FLAIR MR image.
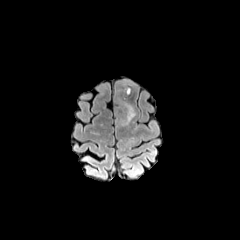
T1-weighted MRI.
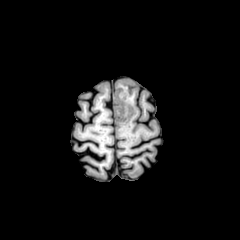
Post-contrast T1-weighted MRI.
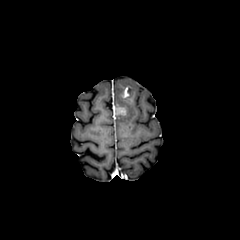
T2-weighted MR image.
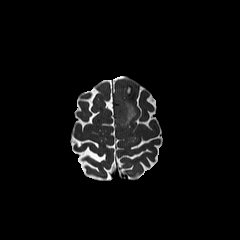
Head
2 peritumoral edema regions are bounded by [x1=119, y1=81, x2=132, y2=93], [x1=116, y1=97, x2=136, y2=125]. 2 enhancing tumor regions are located at [x1=115, y1=106, x2=126, y2=115], [x1=122, y1=86, x2=131, y2=97].